FLAIR MR.
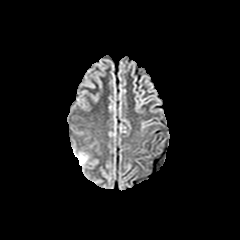
T1-weighted MRI.
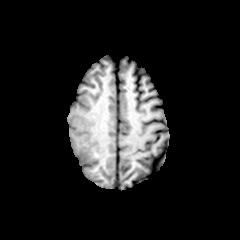
Post-contrast T1-weighted MR.
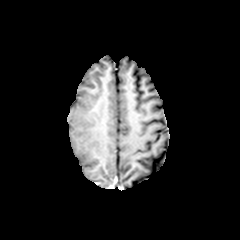
T2-weighted MR image.
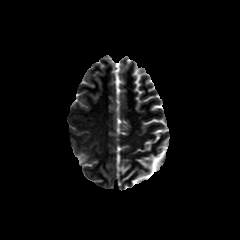
Axial view; Head
The peritumoral edema appears at x1=78 y1=155 x2=85 y2=164.